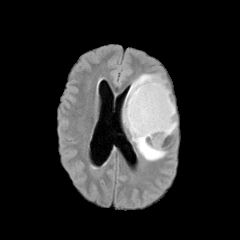
FLAIR magnetic resonance.
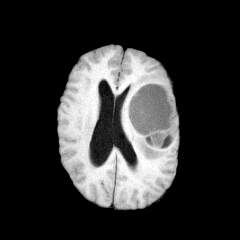
T1-weighted MRI.
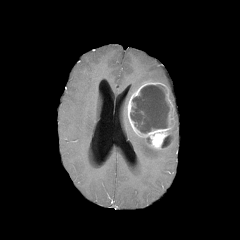
Same slice, post-contrast T1-weighted MR.
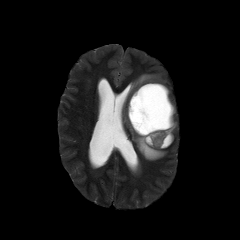
Same slice, T2-weighted MRI.
Brain, Axial plane, 240x240
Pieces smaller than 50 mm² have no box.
necrotic tumor core: {"x1": 130, "y1": 85, "x2": 169, "y2": 133}, {"x1": 161, "y1": 136, "x2": 170, "y2": 147} | peritumoral edema: {"x1": 123, "y1": 74, "x2": 166, "y2": 160}, {"x1": 169, "y1": 101, "x2": 177, "y2": 133} | enhancing tumor: {"x1": 127, "y1": 82, "x2": 174, "y2": 148}